Head
FLAIR magnetic resonance.
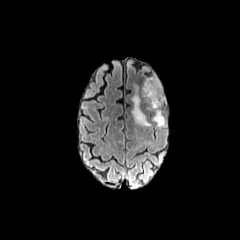
T1-weighted MR image.
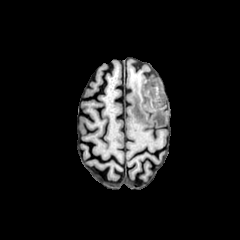
Post-contrast T1-weighted MRI.
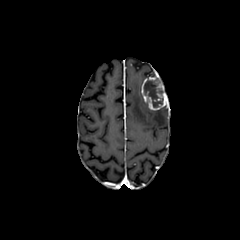
T2-weighted MRI.
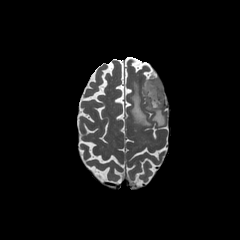
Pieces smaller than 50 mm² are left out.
peritumoral edema: 146,104,165,126; 131,84,150,126
necrotic tumor core: 144,80,162,107
enhancing tumor: 141,76,167,110